Axial view, 240x240 px, Head
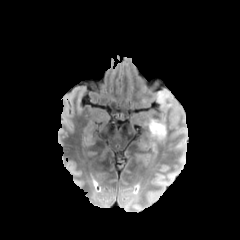
FLAIR MR image.
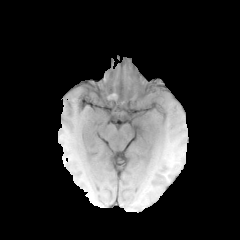
T1-weighted magnetic resonance.
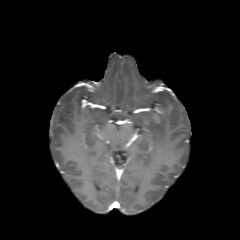
Post-contrast T1-weighted MR image of the same slice.
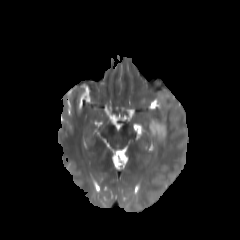
T2-weighted MRI.
peritumoral edema at bbox(148, 119, 166, 142); bbox(157, 91, 172, 108)